Axial view
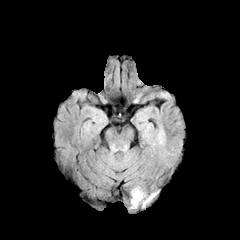
FLAIR magnetic resonance.
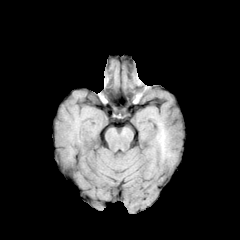
Same slice, T1-weighted MR image.
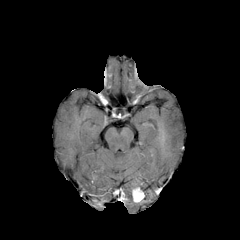
Post-contrast T1-weighted MR of the same slice.
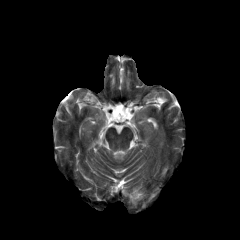
T2-weighted MRI of the same slice.
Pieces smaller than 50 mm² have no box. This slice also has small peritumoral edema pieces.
<segmentation>
  <enhancing_tumor>bbox(132, 187, 144, 201)</enhancing_tumor>
</segmentation>